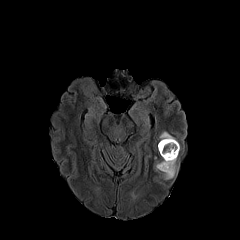
FLAIR MR.
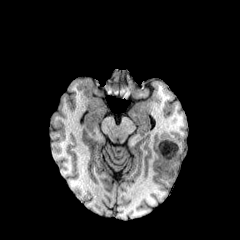
T1-weighted MRI.
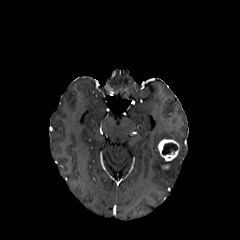
Post-contrast T1-weighted MRI.
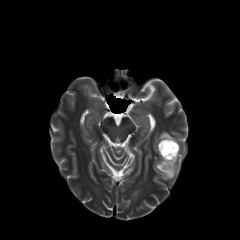
Same slice, T2-weighted MR.
Brain.
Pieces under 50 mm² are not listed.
<segmentation>
  <peritumoral_edema>(159,131,177,141), (154,156,179,180)</peritumoral_edema>
  <enhancing_tumor>(158,139,179,161)</enhancing_tumor>
  <necrotic_tumor_core>(162,143,177,154)</necrotic_tumor_core>
</segmentation>